FLAIR MR image.
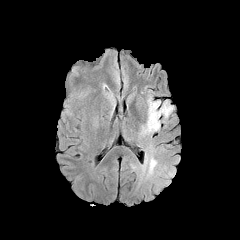
T1-weighted MR image.
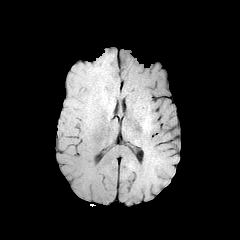
Post-contrast T1-weighted magnetic resonance.
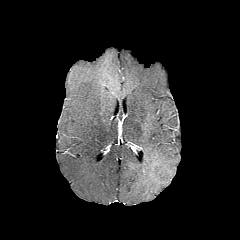
T2-weighted MRI.
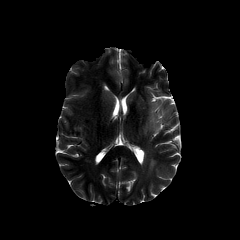
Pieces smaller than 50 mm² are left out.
The largest peritumoral edema region is bounded by 130:90:179:188.